Axial plane
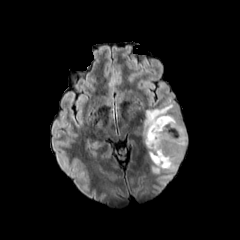
FLAIR magnetic resonance.
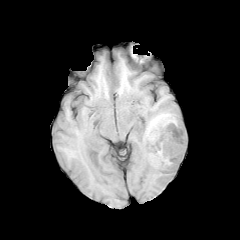
T1-weighted MRI of the same slice.
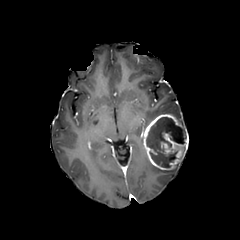
Post-contrast T1-weighted magnetic resonance.
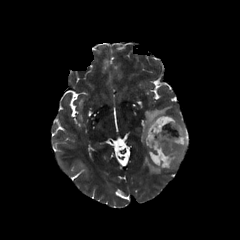
Same slice, T2-weighted magnetic resonance.
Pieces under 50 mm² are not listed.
necrotic tumor core — left=146, top=117, right=186, bottom=167
enhancing tumor — left=141, top=114, right=188, bottom=170
peritumoral edema — left=151, top=163, right=179, bottom=174; left=143, top=104, right=172, bottom=128